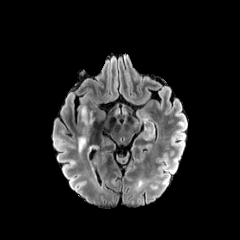
FLAIR MR.
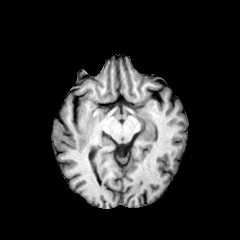
T1-weighted MR image.
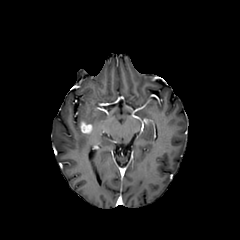
Post-contrast T1-weighted MRI.
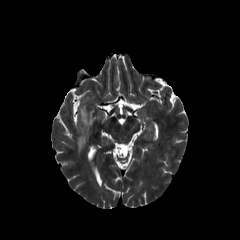
Same slice, T2-weighted magnetic resonance.
Axial slice
enhancing tumor: box(80, 121, 92, 134) | peritumoral edema: box(78, 133, 88, 151); box(80, 106, 94, 124)